Axial slice | Image size 240x240
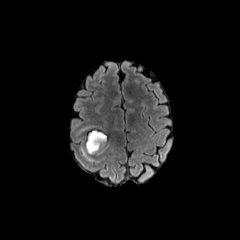
FLAIR MR image.
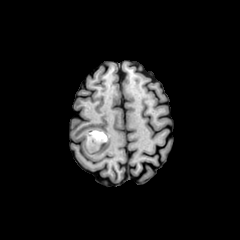
T1-weighted MR image of the same slice.
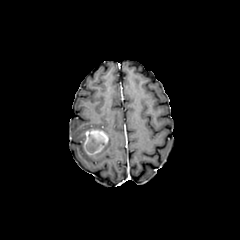
Same slice, post-contrast T1-weighted MR.
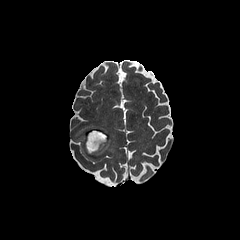
T2-weighted MR.
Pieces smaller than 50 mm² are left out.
necrotic tumor core: bounding box (left=88, top=138, right=103, bottom=152)
peritumoral edema: bounding box (left=81, top=147, right=92, bottom=160)
enhancing tumor: bounding box (left=84, top=130, right=107, bottom=154)